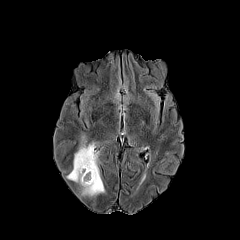
FLAIR magnetic resonance.
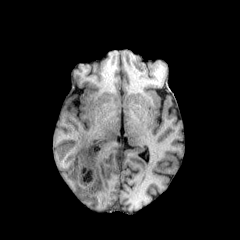
Same slice, T1-weighted magnetic resonance.
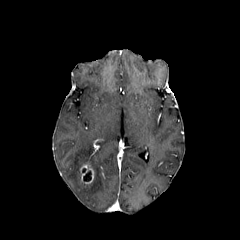
Post-contrast T1-weighted MR.
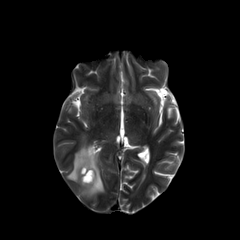
Same slice, T2-weighted MR image.
Brain, Axial slice
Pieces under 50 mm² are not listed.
Segmented structures:
* peritumoral edema: l=66, t=136, r=105, b=196
* necrotic tumor core: l=83, t=171, r=91, b=181
* enhancing tumor: l=80, t=162, r=94, b=184